Head; 240x240; Slice index 90
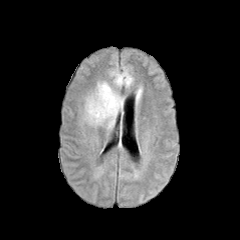
FLAIR MRI.
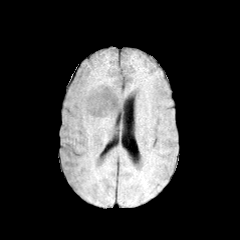
T1-weighted MR image.
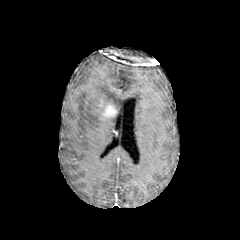
Post-contrast T1-weighted magnetic resonance.
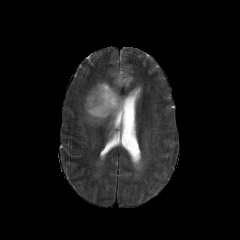
T2-weighted MR.
enhancing tumor at rect(95, 96, 117, 117)
peritumoral edema at rect(110, 68, 133, 87); rect(83, 81, 124, 129)